Image width 240 mm, Head
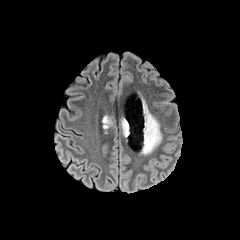
FLAIR MRI.
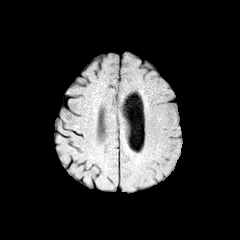
T1-weighted MRI.
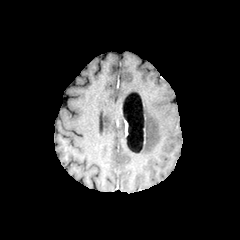
Post-contrast T1-weighted MR image of the same slice.
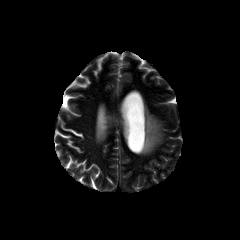
T2-weighted MR of the same slice.
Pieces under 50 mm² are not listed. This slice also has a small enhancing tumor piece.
{"peritumoral_edema": ["x1=121, y1=118, x2=127, y2=137", "x1=103, y1=115, x2=112, y2=129", "x1=142, y1=101, x2=162, y2=154"]}